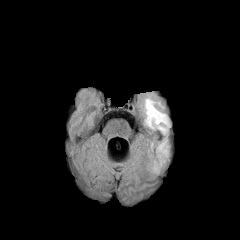
FLAIR MR.
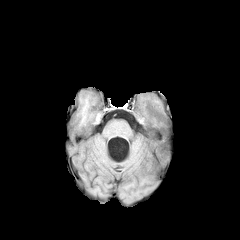
Same slice, T1-weighted MR.
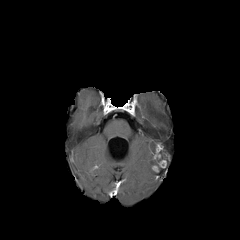
Post-contrast T1-weighted magnetic resonance of the same slice.
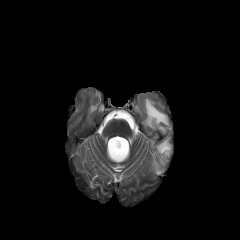
T2-weighted MR image.
Image size 240x240, Head, Axial view
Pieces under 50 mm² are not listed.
{"peritumoral_edema": ["152:137:169:165", "143:97:169:134"], "enhancing_tumor": ["153:143:163:159", "152:159:166:172"]}